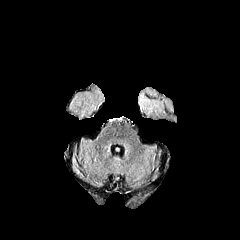
FLAIR magnetic resonance.
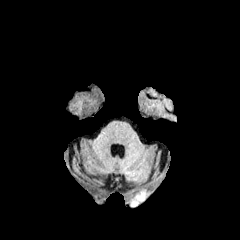
T1-weighted MR image.
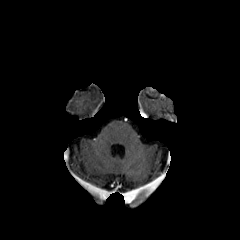
Same slice, post-contrast T1-weighted magnetic resonance.
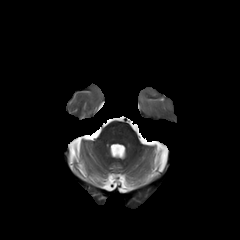
T2-weighted MR image.
Head, Axial view
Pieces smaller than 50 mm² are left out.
peritumoral edema at 139 94 163 114